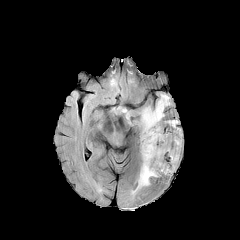
FLAIR MRI.
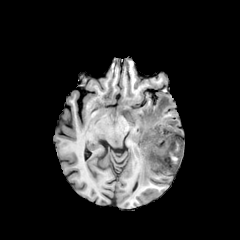
T1-weighted MR image of the same slice.
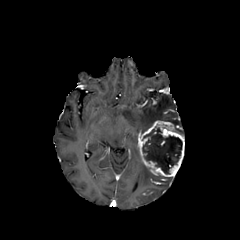
Post-contrast T1-weighted MR.
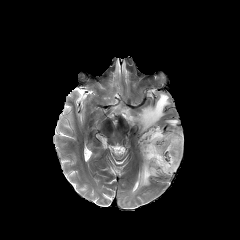
T2-weighted MR image.
Axial plane
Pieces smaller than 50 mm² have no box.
- enhancing tumor: bbox(138, 121, 184, 176)
- peritumoral edema: bbox(167, 120, 182, 133); bbox(122, 109, 131, 124); bbox(137, 162, 158, 188); bbox(135, 93, 171, 133)
- necrotic tumor core: bbox(143, 128, 182, 173)